Slice index 37, Image size 240x240
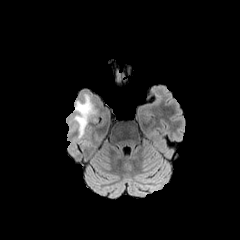
FLAIR MR image.
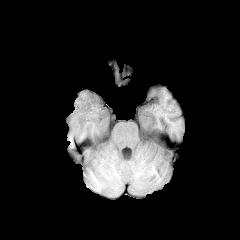
T1-weighted MR.
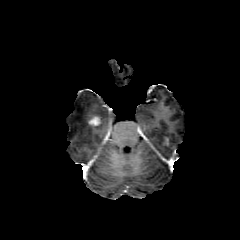
Post-contrast T1-weighted magnetic resonance.
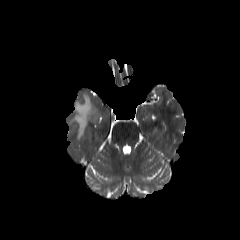
T2-weighted MRI of the same slice.
<segmentation>
  <peritumoral_edema>69 94 98 139</peritumoral_edema>
  <enhancing_tumor>88 116 101 126</enhancing_tumor>
</segmentation>